FLAIR MR image.
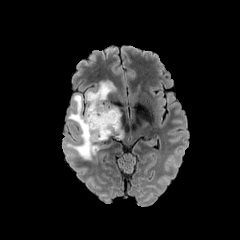
T1-weighted MR image.
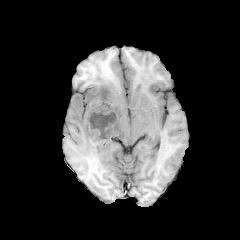
Post-contrast T1-weighted MR.
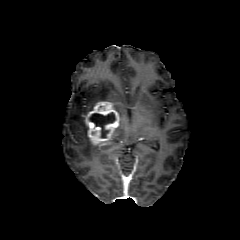
T2-weighted MR.
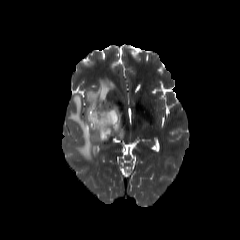
Brain
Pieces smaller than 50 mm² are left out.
peritumoral_edema:
  - 115:122:123:137
  - 66:80:114:160
necrotic_tumor_core:
  - 89:112:114:137
enhancing_tumor:
  - 85:101:120:146